Slice index 62 | Head
FLAIR MRI.
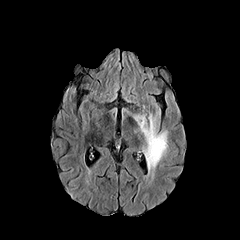
T1-weighted MR.
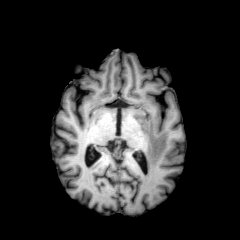
Post-contrast T1-weighted MR image.
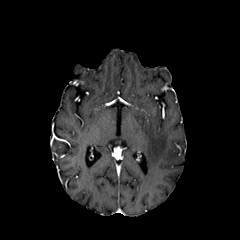
T2-weighted magnetic resonance.
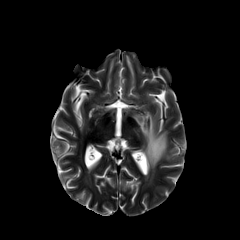
peritumoral edema — {"x1": 132, "y1": 107, "x2": 169, "y2": 183}